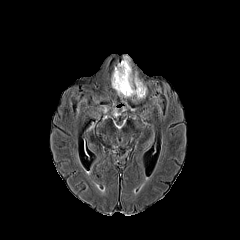
FLAIR MRI.
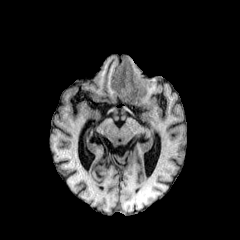
T1-weighted magnetic resonance.
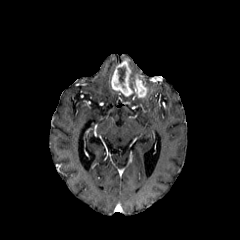
Post-contrast T1-weighted MRI of the same slice.
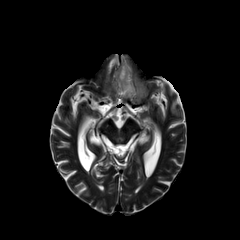
T2-weighted MR of the same slice.
Axial plane | Head
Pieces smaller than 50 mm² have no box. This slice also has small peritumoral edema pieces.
necrotic tumor core: box(118, 67, 125, 83)
enhancing tumor: box(111, 58, 147, 97)